FLAIR MRI.
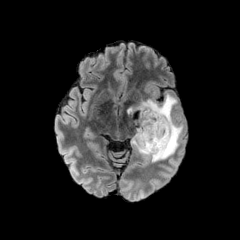
T1-weighted MRI.
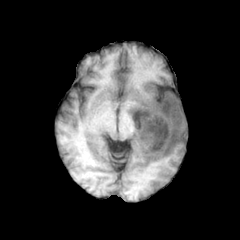
Post-contrast T1-weighted MRI.
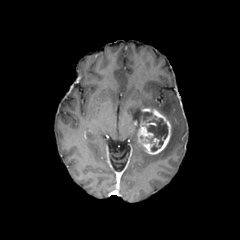
T2-weighted MR.
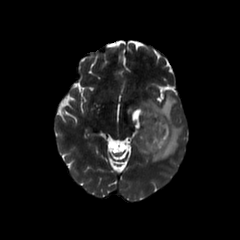
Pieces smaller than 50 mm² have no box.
peritumoral edema: bounding box 132, 94, 183, 162
necrotic tumor core: bounding box 147, 118, 167, 151
enhancing tumor: bounding box 137, 107, 171, 154